Brain
FLAIR MRI.
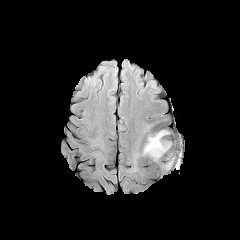
T1-weighted magnetic resonance.
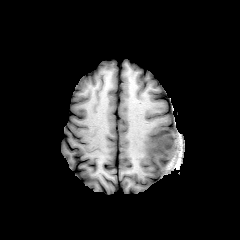
Post-contrast T1-weighted MRI.
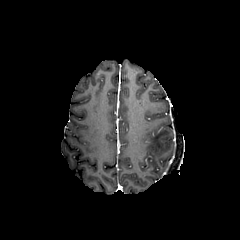
T2-weighted MR image.
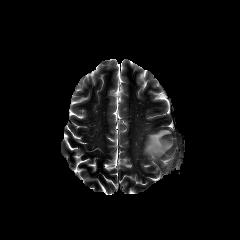
peritumoral edema: bounding box <bbox>144, 130, 171, 159</bbox>